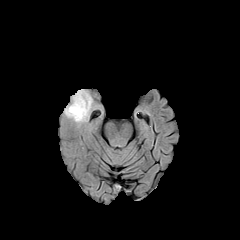
FLAIR MR.
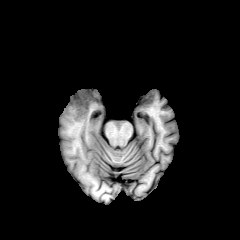
T1-weighted magnetic resonance.
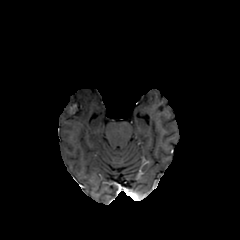
Post-contrast T1-weighted magnetic resonance.
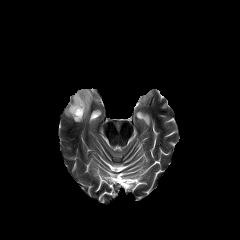
T2-weighted MRI.
Axial slice
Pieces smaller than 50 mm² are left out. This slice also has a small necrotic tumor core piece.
enhancing tumor: bounding box box(69, 103, 78, 114)
peritumoral edema: bounding box box(64, 89, 92, 122)